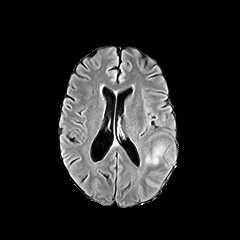
FLAIR magnetic resonance.
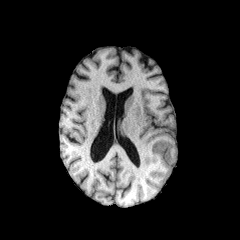
T1-weighted MR of the same slice.
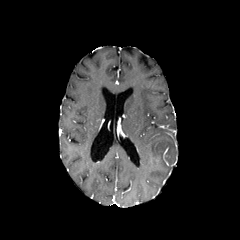
Same slice, post-contrast T1-weighted MR image.
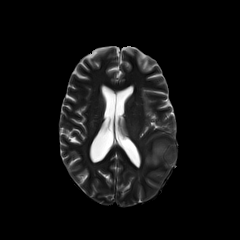
T2-weighted MR of the same slice.
Head, Axial view
peritumoral edema: bounding box <bbox>146, 146, 163, 163</bbox>